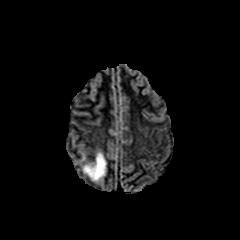
FLAIR MRI.
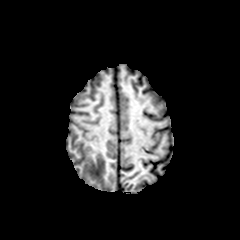
T1-weighted MR image.
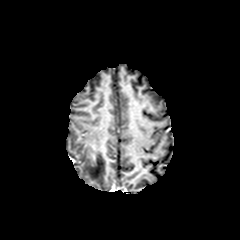
Same slice, post-contrast T1-weighted magnetic resonance.
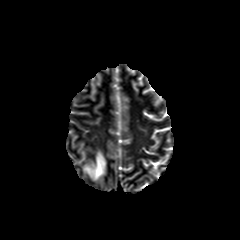
T2-weighted magnetic resonance of the same slice.
Head
The peritumoral edema is at {"x1": 83, "y1": 152, "x2": 106, "y2": 180}.